FLAIR MR image.
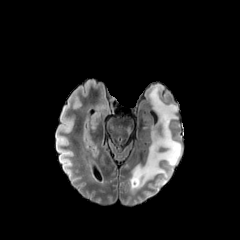
T1-weighted MR.
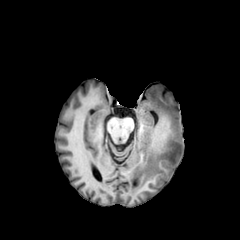
Post-contrast T1-weighted MR.
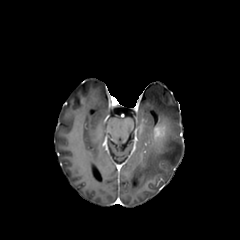
T2-weighted magnetic resonance.
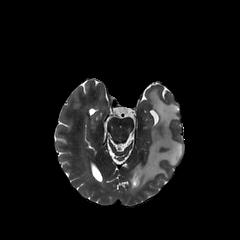
Axial view
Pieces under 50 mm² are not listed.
peritumoral_edema:
  - (x1=130, y1=86, x2=182, y2=189)
enhancing_tumor:
  - (x1=153, y1=121, x2=169, y2=144)